Head. Image width 240 mm, 1.00 mm slice spacing. Axial view.
FLAIR MR.
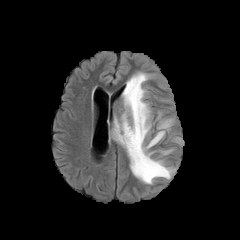
T1-weighted magnetic resonance.
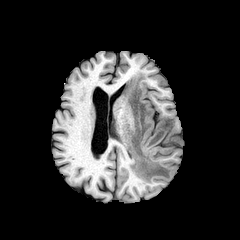
Post-contrast T1-weighted MR image.
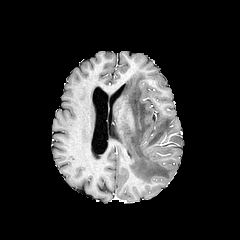
T2-weighted MR.
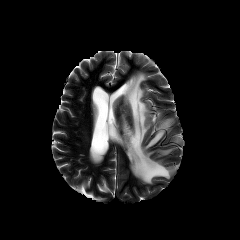
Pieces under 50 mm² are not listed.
Segmented structures:
- peritumoral edema: (112,72,175,184)